FLAIR magnetic resonance.
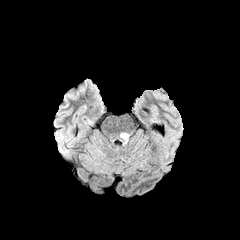
T1-weighted MR image.
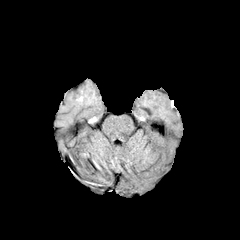
Post-contrast T1-weighted MRI.
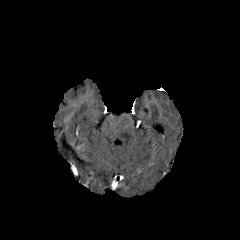
T2-weighted MR image.
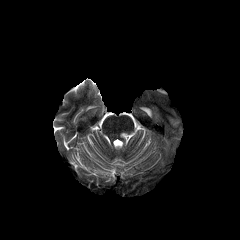
240x240, Head
peritumoral edema at (left=120, top=133, right=128, bottom=142)